FLAIR MR.
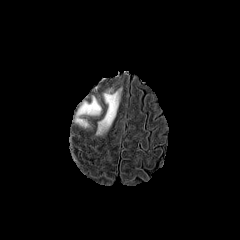
T1-weighted MRI.
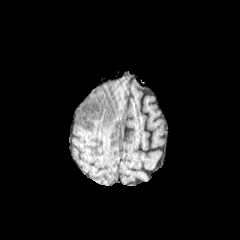
Post-contrast T1-weighted MR.
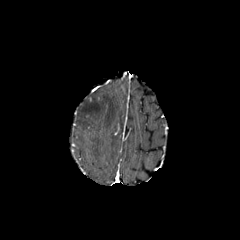
T2-weighted MRI.
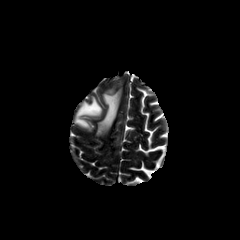
Annotated regions:
- peritumoral edema: bbox=[74, 95, 101, 128]; bbox=[96, 87, 122, 135]